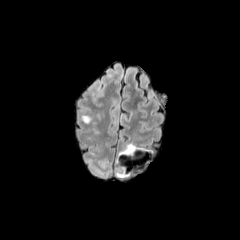
FLAIR MR.
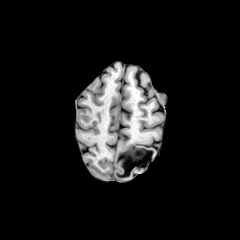
Same slice, T1-weighted MR.
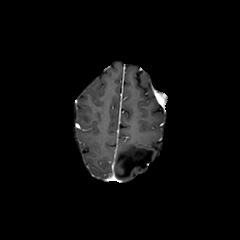
Same slice, post-contrast T1-weighted MRI.
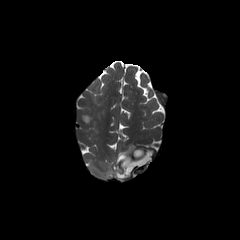
Same slice, T2-weighted magnetic resonance.
Axial plane
peritumoral_edema:
  - left=81, top=116, right=90, bottom=122